FLAIR magnetic resonance.
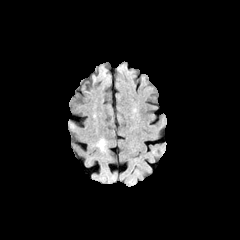
T1-weighted MR.
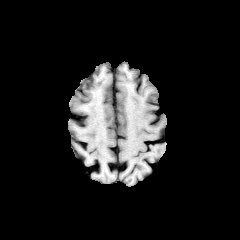
Post-contrast T1-weighted MRI.
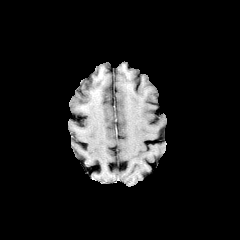
T2-weighted MR.
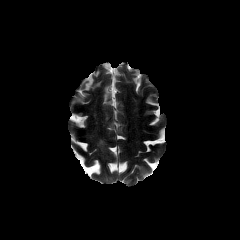
Brain; Image size 240x240
peritumoral edema: (97,139,106,151)